Head. Image size 240x240.
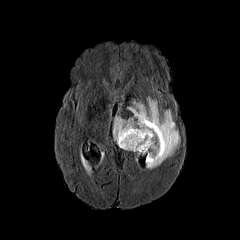
FLAIR MR.
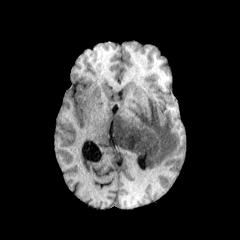
Same slice, T1-weighted MR image.
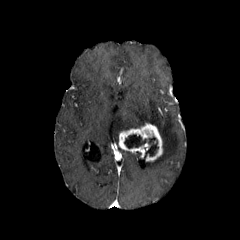
Same slice, post-contrast T1-weighted MR.
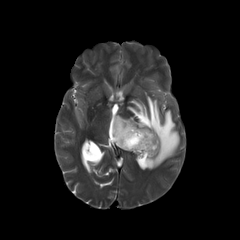
T2-weighted MR of the same slice.
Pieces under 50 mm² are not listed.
peritumoral edema = box(113, 97, 180, 169)
necrotic tumor core = box(147, 137, 158, 156); box(124, 134, 146, 148)
enhancing tumor = box(118, 122, 163, 161)